FLAIR MR image.
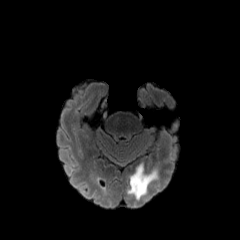
T1-weighted MR.
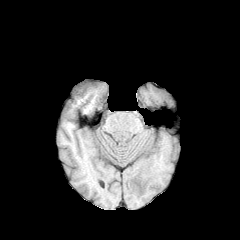
Post-contrast T1-weighted magnetic resonance.
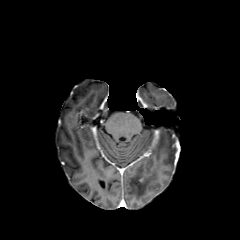
T2-weighted magnetic resonance.
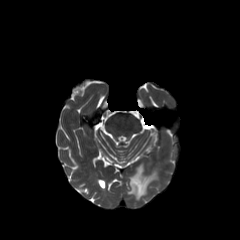
Head; Axial plane
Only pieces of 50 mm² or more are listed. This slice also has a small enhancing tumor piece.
{
  "peritumoral_edema": [
    "127, 164, 157, 199"
  ]
}